Slice index 123, Brain
FLAIR magnetic resonance.
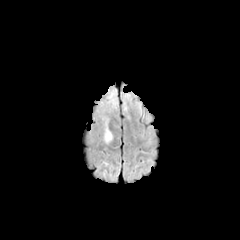
T1-weighted MRI.
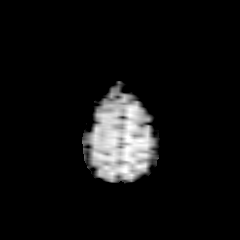
Post-contrast T1-weighted MRI.
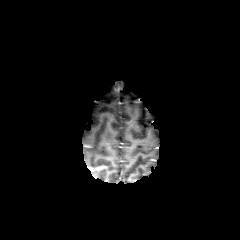
T2-weighted magnetic resonance.
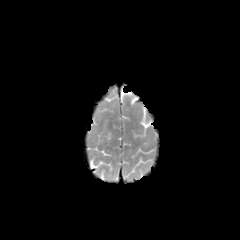
<segmentation>
  <peritumoral_edema>x1=105, y1=128, x2=112, y2=142</peritumoral_edema>
</segmentation>